Slice 83/155, Image covers 240 mm x 240 mm, Image size 240x240
FLAIR MRI.
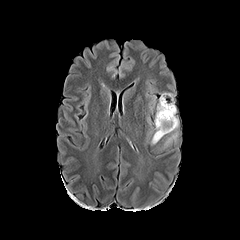
T1-weighted MR.
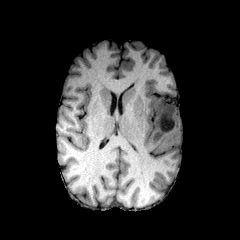
Post-contrast T1-weighted MRI.
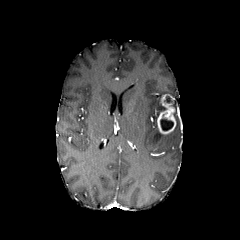
T2-weighted magnetic resonance.
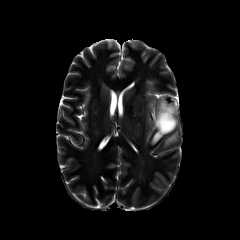
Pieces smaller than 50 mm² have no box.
peritumoral_edema:
  - 164, 131, 177, 146
  - 151, 94, 164, 144
  - 173, 105, 179, 130
enhancing_tumor:
  - 157, 96, 176, 134
necrotic_tumor_core:
  - 160, 118, 173, 130